Axial slice, Image size 240x240, Slice 56 of 155
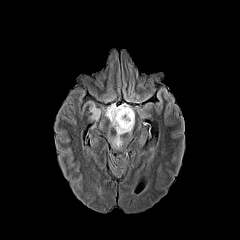
FLAIR MRI.
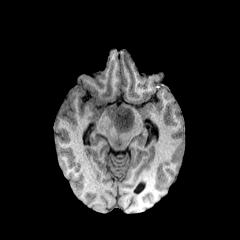
T1-weighted MR.
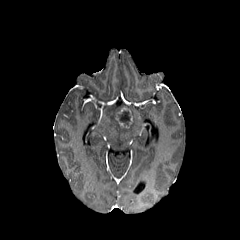
Post-contrast T1-weighted magnetic resonance.
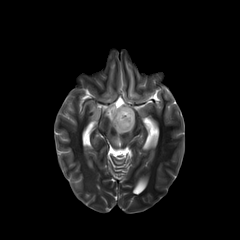
Same slice, T2-weighted magnetic resonance.
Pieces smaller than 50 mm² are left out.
Findings:
- peritumoral edema: region(105, 104, 134, 147); region(90, 103, 99, 119)
- enhancing tumor: region(114, 107, 133, 128)
- necrotic tumor core: region(118, 111, 130, 125)